FLAIR MRI.
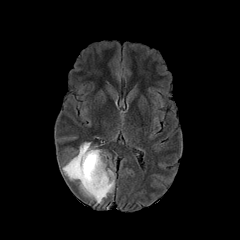
T1-weighted MR.
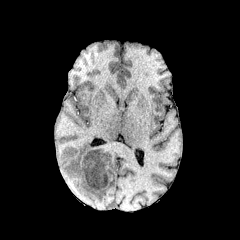
Post-contrast T1-weighted MR.
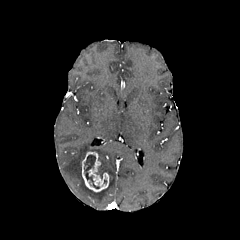
T2-weighted MR image.
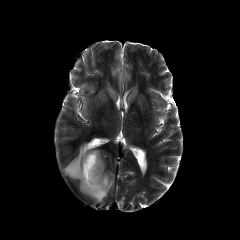
Brain
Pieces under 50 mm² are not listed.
Segmented structures:
- necrotic tumor core: [x1=84, y1=155, x2=99, y2=188], [x1=96, y1=163, x2=104, y2=178]
- enhancing tumor: [x1=82, y1=151, x2=109, y2=192]
- peritumoral edema: [x1=63, y1=142, x2=114, y2=203]